Image size 240x240 | Head | Axial plane
FLAIR MR image.
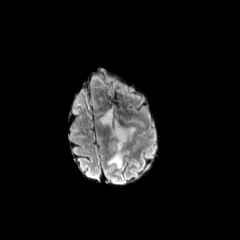
T1-weighted magnetic resonance.
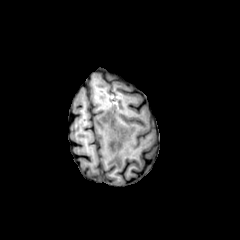
Post-contrast T1-weighted MRI.
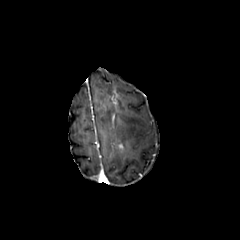
T2-weighted MR.
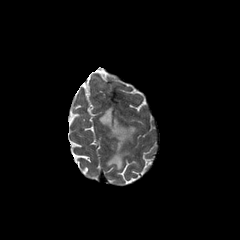
The enhancing tumor appears at (116,141,123,149). The peritumoral edema is at (100,109,136,168).